Axial slice | Slice index 105 | Image width 240 mm, 1.00 mm slice spacing
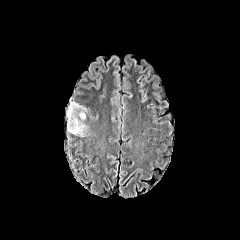
FLAIR MR image.
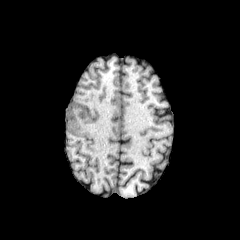
T1-weighted MRI of the same slice.
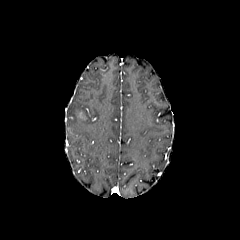
Post-contrast T1-weighted magnetic resonance.
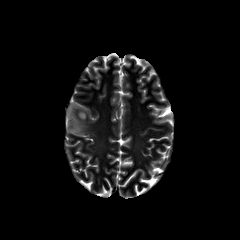
T2-weighted MR image of the same slice.
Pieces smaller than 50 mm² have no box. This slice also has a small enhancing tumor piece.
The largest peritumoral edema region is at (67, 102, 86, 136).